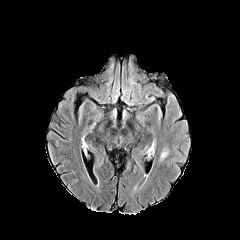
FLAIR MR.
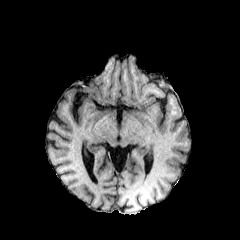
T1-weighted MR.
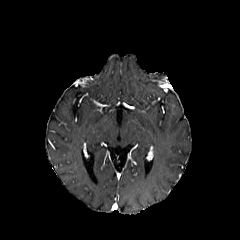
Post-contrast T1-weighted MR of the same slice.
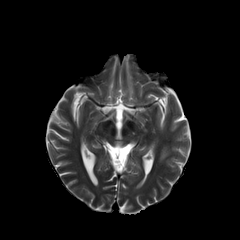
Same slice, T2-weighted MR image.
Head
peritumoral edema at (160,146,168,159)